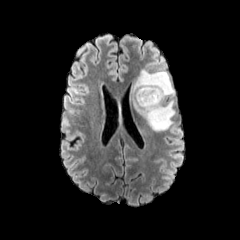
FLAIR MR image.
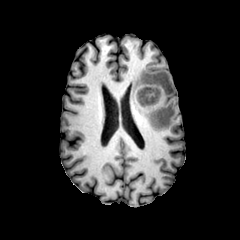
Same slice, T1-weighted magnetic resonance.
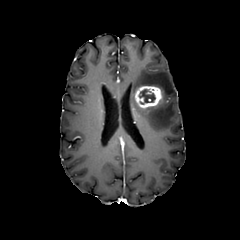
Post-contrast T1-weighted MRI.
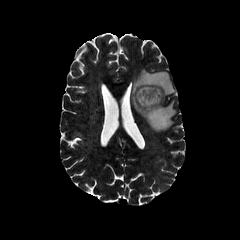
T2-weighted magnetic resonance.
Brain.
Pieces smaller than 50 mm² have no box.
necrotic tumor core = box=[137, 88, 156, 104]
enhancing tumor = box=[134, 85, 162, 108]
peritumoral edema = box=[132, 69, 175, 131]